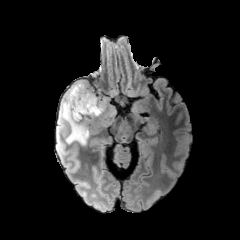
FLAIR MRI.
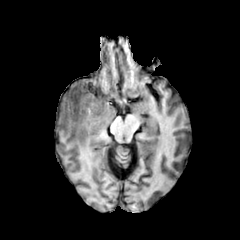
T1-weighted MR.
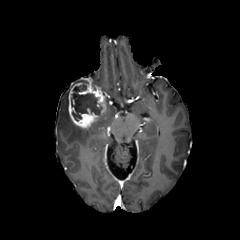
Post-contrast T1-weighted MR of the same slice.
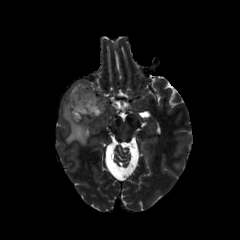
T2-weighted MR.
Head.
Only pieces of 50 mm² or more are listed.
enhancing tumor — (68,82,107,128)
necrotic tumor core — (71,85,102,120)
peritumoral edema — (59,89,88,144)